Brain | Axial plane
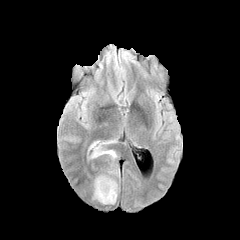
FLAIR MRI.
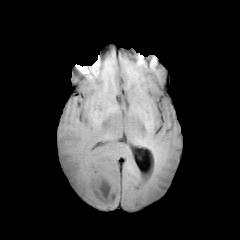
T1-weighted MR image of the same slice.
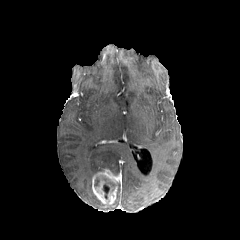
Post-contrast T1-weighted MR of the same slice.
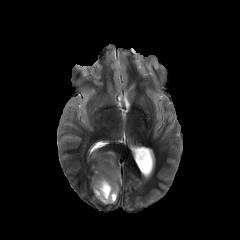
T2-weighted MR image of the same slice.
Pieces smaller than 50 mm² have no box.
enhancing tumor: (x1=92, y1=169, x2=120, y2=204) | peritumoral edema: (x1=91, y1=146, x2=116, y2=158) | necrotic tumor core: (x1=103, y1=183, x2=109, y2=198)